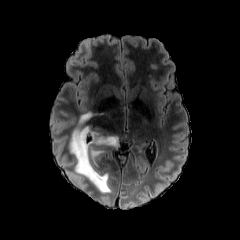
FLAIR magnetic resonance.
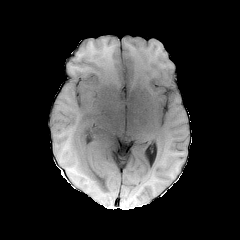
T1-weighted MR.
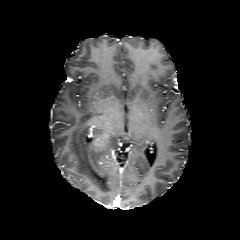
Post-contrast T1-weighted magnetic resonance.
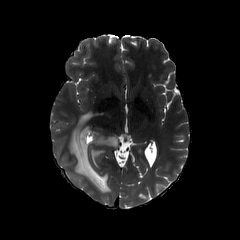
T2-weighted magnetic resonance of the same slice.
Axial slice; Head
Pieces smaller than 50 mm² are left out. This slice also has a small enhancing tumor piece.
peritumoral edema — 69 112 118 192